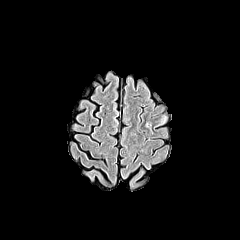
FLAIR MR.
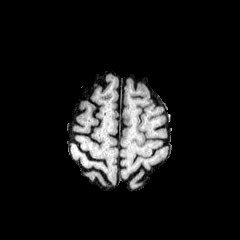
T1-weighted MRI of the same slice.
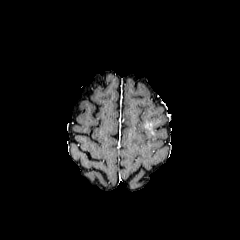
Post-contrast T1-weighted MRI.
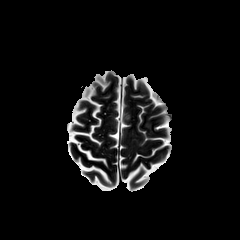
T2-weighted MR.
Axial slice | Head | Image size 240x240
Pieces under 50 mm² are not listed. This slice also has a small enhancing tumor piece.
The largest peritumoral edema region is at bbox=[154, 114, 167, 127].